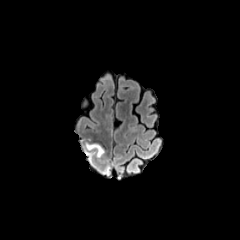
FLAIR magnetic resonance.
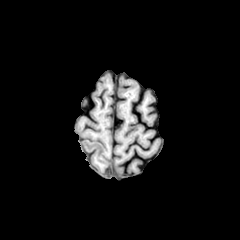
T1-weighted MRI.
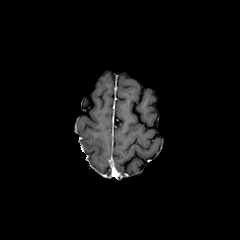
Post-contrast T1-weighted MR image of the same slice.
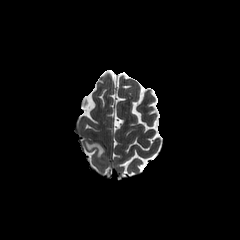
Same slice, T2-weighted MRI.
240x240
peritumoral edema at left=86, top=144, right=104, bottom=157